Brain; Slice index 75; 240x240
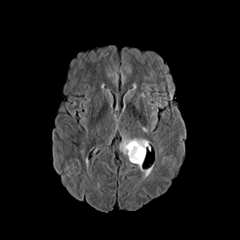
FLAIR MR image.
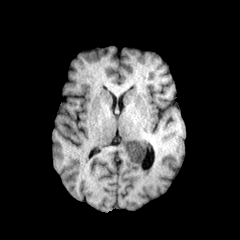
T1-weighted MR image of the same slice.
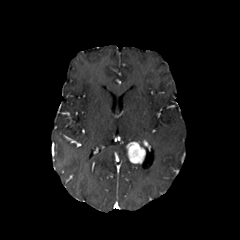
Post-contrast T1-weighted MRI.
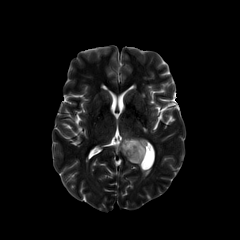
T2-weighted magnetic resonance.
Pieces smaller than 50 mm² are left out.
<segmentation>
  <peritumoral_edema>x1=120 y1=137 x2=144 y2=157, x1=137 y1=164 x2=152 y2=176</peritumoral_edema>
  <enhancing_tumor>x1=125 y1=141 x2=145 y2=164</enhancing_tumor>
</segmentation>